Slice 120 of 155 | Axial slice | Head | Image width 240 mm, 1.00 mm slice spacing
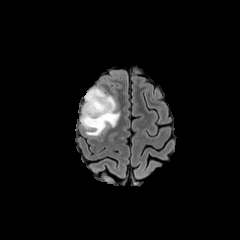
FLAIR MR image.
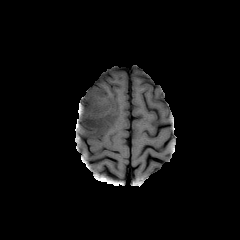
T1-weighted MRI.
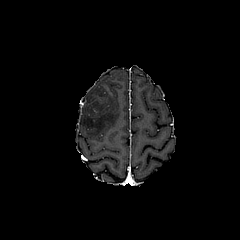
Post-contrast T1-weighted MR.
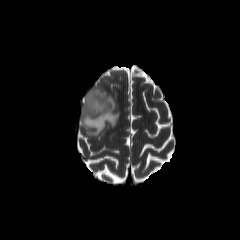
Same slice, T2-weighted magnetic resonance.
peritumoral edema: bounding box [x1=80, y1=87, x2=119, y2=136]